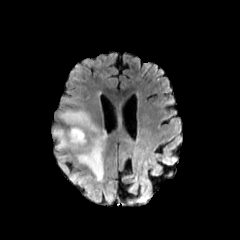
FLAIR MR image.
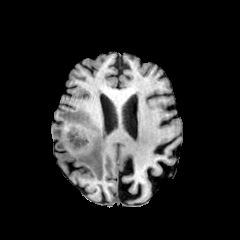
T1-weighted MRI.
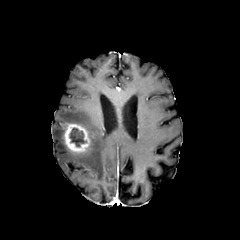
Same slice, post-contrast T1-weighted MR.
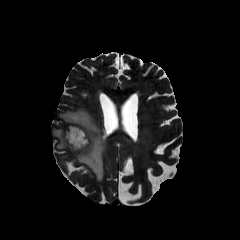
T2-weighted MRI of the same slice.
Axial view
necrotic tumor core = [69,128,86,146]
peritumoral edema = [52,109,107,202]
enhancing tumor = [62,123,89,154]